Head; 240x240; Slice 91/155; Image covers 240 mm x 240 mm; Axial slice
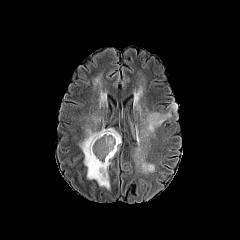
FLAIR MRI.
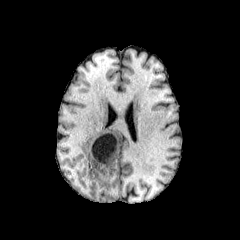
T1-weighted MR image of the same slice.
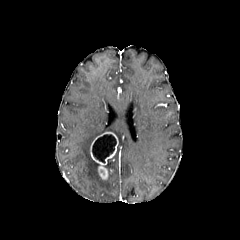
Post-contrast T1-weighted MR.
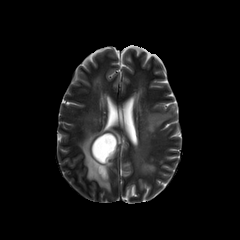
T2-weighted MR image.
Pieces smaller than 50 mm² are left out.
peritumoral edema: 79,127,121,190; 142,112,170,135; 145,163,154,172 | necrotic tumor core: 92,134,116,162 | enhancing tumor: 90,132,118,179